FLAIR MRI.
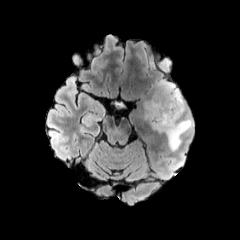
T1-weighted MR image.
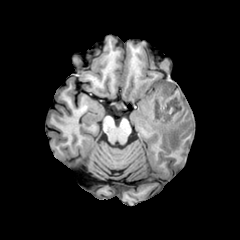
Post-contrast T1-weighted MR image.
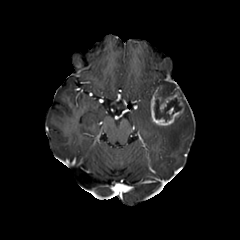
T2-weighted MRI.
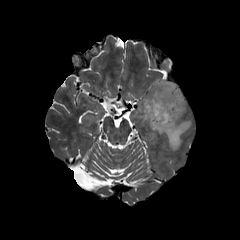
240x240 px
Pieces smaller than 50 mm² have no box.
- necrotic tumor core: (154,98,182,120)
- enhancing tumor: (150,85,184,126)
- peritumoral edema: (152,117,192,151), (157,80,179,95), (145,101,151,121)